FLAIR MR image.
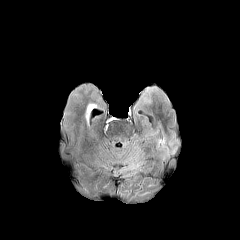
T1-weighted MR image.
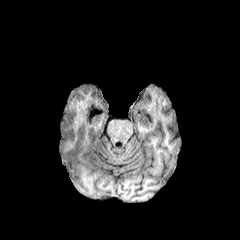
Post-contrast T1-weighted MR image.
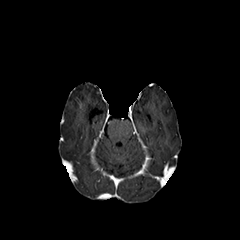
T2-weighted magnetic resonance.
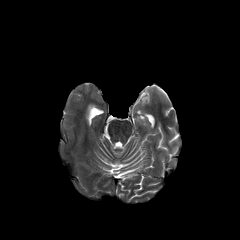
Head.
The peritumoral edema is at 86 104 95 119.